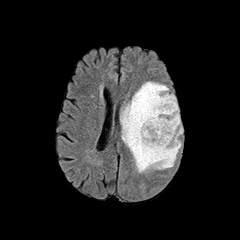
FLAIR MR.
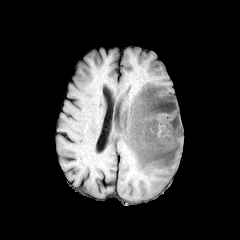
T1-weighted MR image of the same slice.
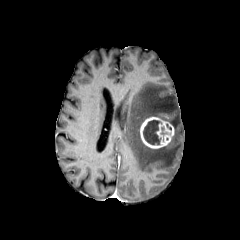
Same slice, post-contrast T1-weighted MR.
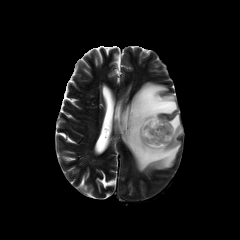
T2-weighted MR image.
Head. Image size 240x240.
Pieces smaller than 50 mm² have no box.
enhancing tumor: bbox=[140, 116, 174, 148] | necrotic tumor core: bbox=[143, 120, 160, 144] | peritumoral edema: bbox=[120, 81, 182, 172]